Head.
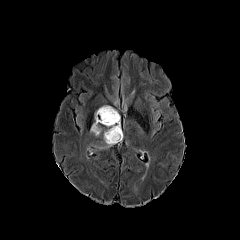
FLAIR magnetic resonance.
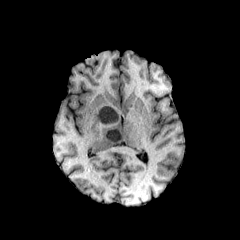
T1-weighted magnetic resonance.
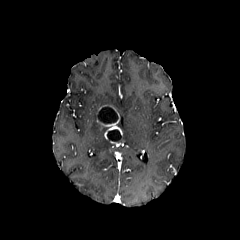
Post-contrast T1-weighted MRI of the same slice.
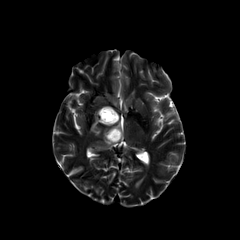
T2-weighted MR image of the same slice.
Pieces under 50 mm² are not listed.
Findings:
* enhancing tumor: <bbox>96, 105, 122, 140</bbox>
* necrotic tumor core: <bbox>107, 129, 121, 141</bbox>, <bbox>98, 106, 118, 123</bbox>
* peritumoral edema: <bbox>90, 112, 101, 136</bbox>, <bbox>95, 137, 114, 149</bbox>